Axial plane | Brain
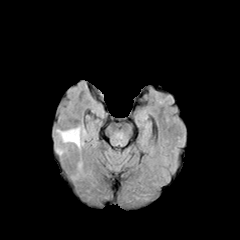
FLAIR magnetic resonance.
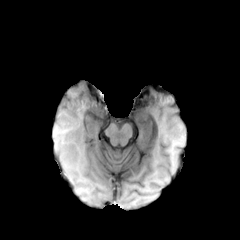
T1-weighted MRI.
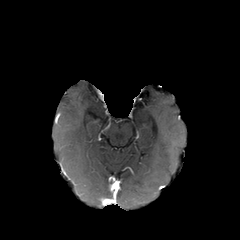
Post-contrast T1-weighted magnetic resonance.
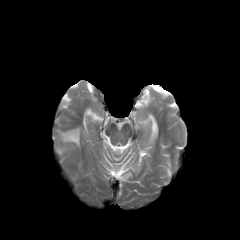
T2-weighted magnetic resonance.
peritumoral edema = 61,128,80,146